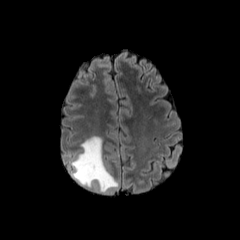
FLAIR MR.
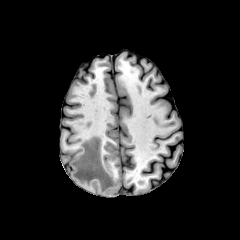
T1-weighted magnetic resonance.
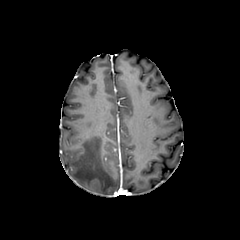
Post-contrast T1-weighted MR image.
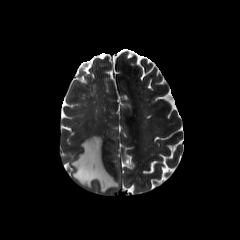
Same slice, T2-weighted MR.
240x240, Brain
peritumoral edema: (71, 136, 118, 193)